Slice 131/155 | Head | 240x240 | Axial slice
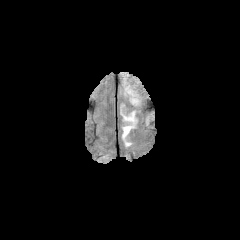
FLAIR MR image.
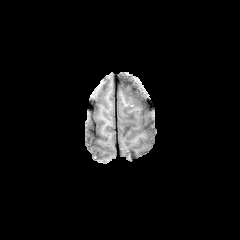
Same slice, T1-weighted magnetic resonance.
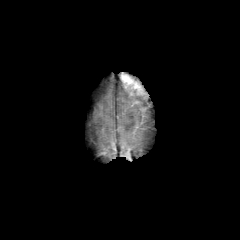
Post-contrast T1-weighted MRI.
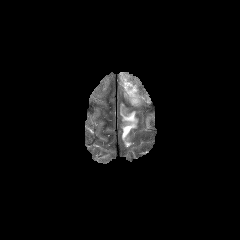
Same slice, T2-weighted MR image.
3 peritumoral edema regions appear at 145, 114, 154, 128; 120, 105, 137, 146; 119, 81, 142, 105. The enhancing tumor is bounded by 119, 72, 153, 108.